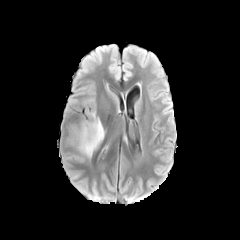
FLAIR MR.
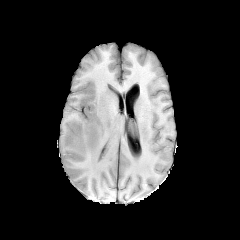
T1-weighted MR.
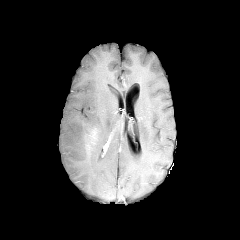
Post-contrast T1-weighted MR.
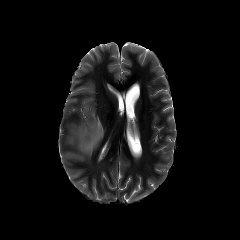
T2-weighted MRI.
Brain. Axial plane.
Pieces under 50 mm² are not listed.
enhancing tumor: 85:127:98:152
peritumoral edema: 74:111:104:157